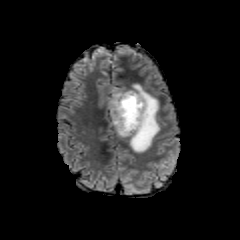
FLAIR MR image.
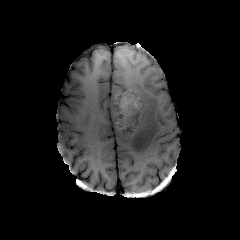
T1-weighted MR.
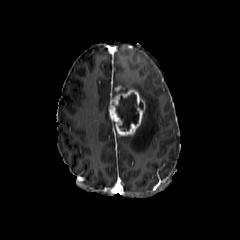
Post-contrast T1-weighted MRI.
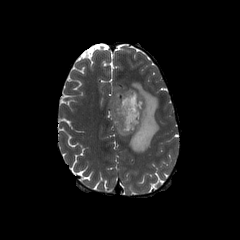
Same slice, T2-weighted MRI.
Brain
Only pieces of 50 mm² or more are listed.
The necrotic tumor core is bounded by <box>116,92,143,130</box>. The 2 largest peritumoral edema regions appear at <box>112,88,128,96</box>, <box>119,83,160,152</box>. The enhancing tumor appears at <box>108,90,145,135</box>.